FLAIR MR.
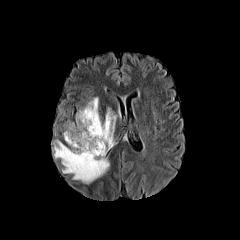
T1-weighted MRI.
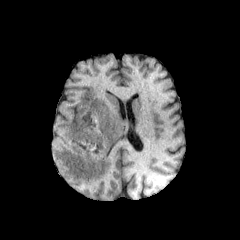
Post-contrast T1-weighted magnetic resonance.
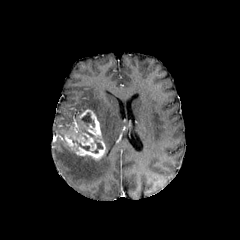
T2-weighted MRI.
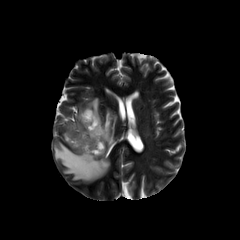
Axial slice
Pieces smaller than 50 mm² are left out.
The enhancing tumor is bounded by <bbox>65, 109, 105, 159</bbox>. The 3 largest necrotic tumor core regions appear at <bbox>72, 139, 89, 150</bbox>, <bbox>91, 140, 102, 153</bbox>, <bbox>81, 112, 94, 127</bbox>. The 2 largest peritumoral edema regions are bounded by <bbox>76, 97, 116, 149</bbox>, <bbox>54, 140, 109, 183</bbox>.